Slice 57 of 155. Brain.
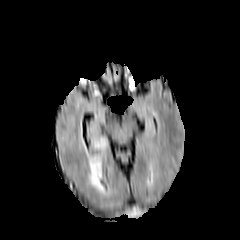
FLAIR MRI.
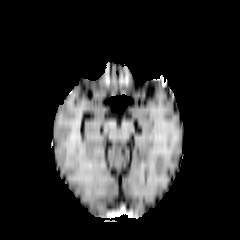
T1-weighted MR image.
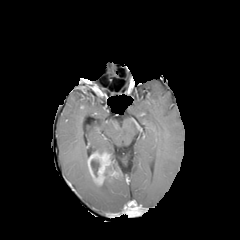
Post-contrast T1-weighted MR of the same slice.
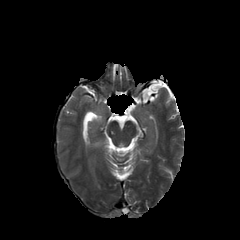
T2-weighted magnetic resonance.
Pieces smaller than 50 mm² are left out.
peritumoral edema at 93,139,107,153; 88,172,107,193
necrotic tumor core at 91,159,99,177
enhancing tumor at 87,152,111,185